Axial plane, Image covers 240 mm x 240 mm
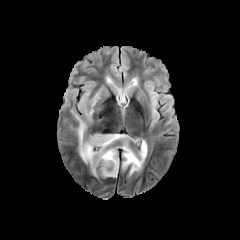
FLAIR MR.
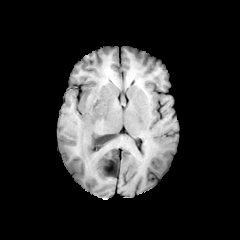
T1-weighted MR.
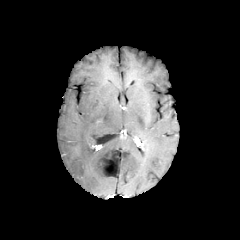
Post-contrast T1-weighted MR.
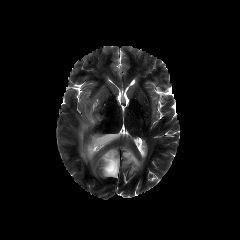
T2-weighted magnetic resonance.
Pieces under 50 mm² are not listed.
2 necrotic tumor core regions are bounded by 89:134:115:144, 103:152:118:175. The 4 largest peritumoral edema regions appear at 81:92:89:104, 85:94:98:122, 78:118:127:177, 122:140:147:174.